Head. Image size 240x240.
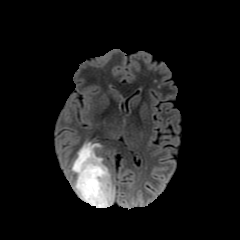
FLAIR MR.
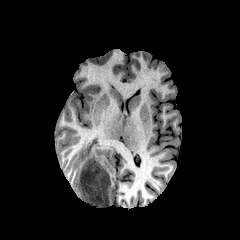
Same slice, T1-weighted MR.
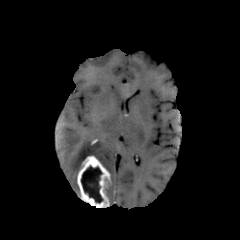
Post-contrast T1-weighted MRI.
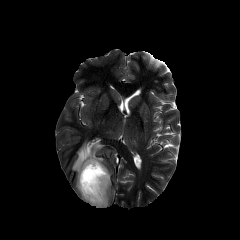
Same slice, T2-weighted magnetic resonance.
<segmentation>
  <enhancing_tumor>(77,155,110,207)</enhancing_tumor>
  <necrotic_tumor_core>(81,166,102,203)</necrotic_tumor_core>
  <peritumoral_edema>(71,142,108,174), (73,178,79,197), (108,179,114,205)</peritumoral_edema>
</segmentation>